Image width 240 mm, 1.00 mm slice spacing, Brain, Slice index 68
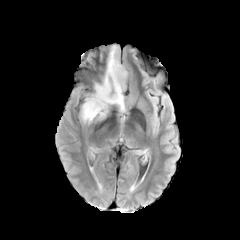
FLAIR magnetic resonance.
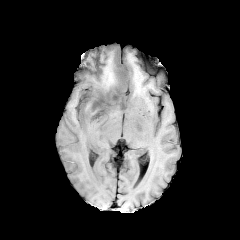
T1-weighted MR image of the same slice.
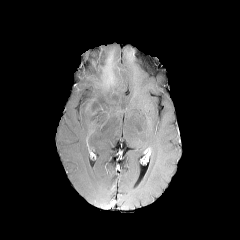
Post-contrast T1-weighted MR image.
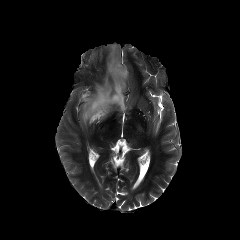
T2-weighted MR of the same slice.
Annotated regions:
• peritumoral edema: 80,44,128,123